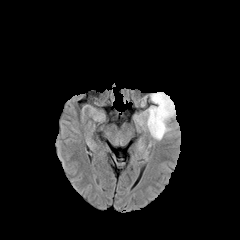
FLAIR MR image.
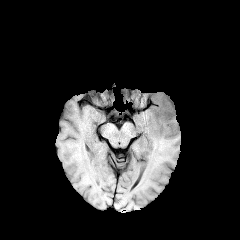
Same slice, T1-weighted MRI.
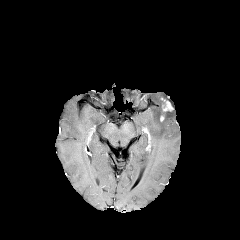
Same slice, post-contrast T1-weighted MRI.
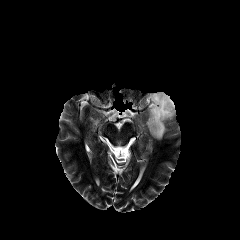
T2-weighted MR.
240x240 px.
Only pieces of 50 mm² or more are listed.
{"peritumoral_edema": ["(left=137, top=92, right=175, bottom=140)"], "enhancing_tumor": ["(left=161, top=98, right=173, bottom=111)"]}